Axial plane; Head; Image width 240 mm, 1.00 mm slice spacing; Slice 67/155
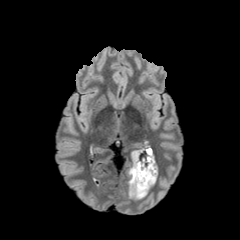
FLAIR magnetic resonance.
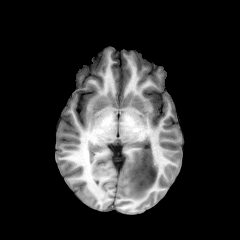
Same slice, T1-weighted MR image.
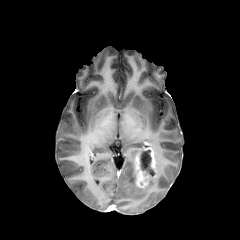
Post-contrast T1-weighted magnetic resonance.
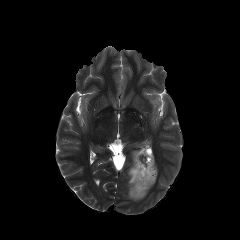
T2-weighted MR image.
<segmentation>
  <necrotic_tumor_core>[140,150,155,176]</necrotic_tumor_core>
  <enhancing_tumor>[133,147,157,189]</enhancing_tumor>
  <peritumoral_edema>[128,149,156,199]</peritumoral_edema>
</segmentation>